Image size 240x240 | Head | Axial plane
FLAIR MR image.
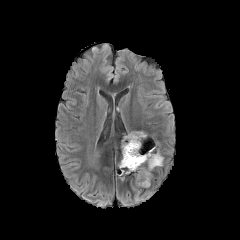
T1-weighted magnetic resonance.
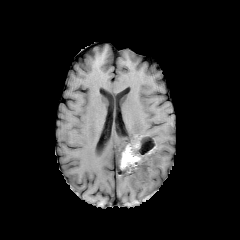
Post-contrast T1-weighted MRI.
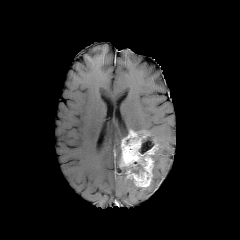
T2-weighted magnetic resonance.
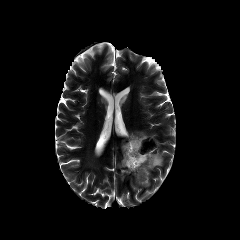
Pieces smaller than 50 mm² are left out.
peritumoral edema at l=152, t=152, r=163, b=167
necrotic tumor core at l=139, t=136, r=153, b=154; l=129, t=164, r=142, b=173
enhancing tumor at l=119, t=130, r=156, b=187